Image width 240 mm
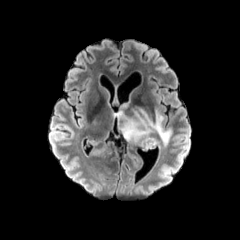
FLAIR MR.
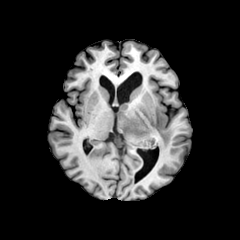
Same slice, T1-weighted magnetic resonance.
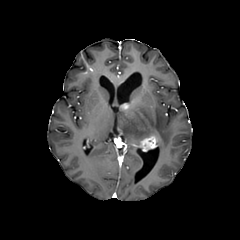
Same slice, post-contrast T1-weighted MR.
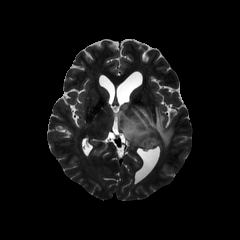
T2-weighted magnetic resonance.
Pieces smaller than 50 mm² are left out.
peritumoral edema — [113, 106, 171, 146]
enhancing tumor — [139, 135, 156, 151]